Slice 48/155; Axial plane; Brain; Image size 240x240
FLAIR MR image.
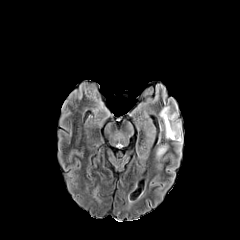
T1-weighted MR.
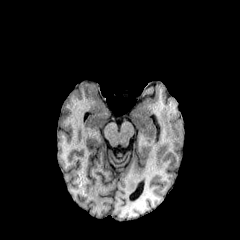
Post-contrast T1-weighted MRI.
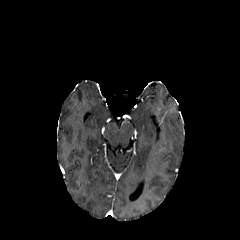
T2-weighted MR image.
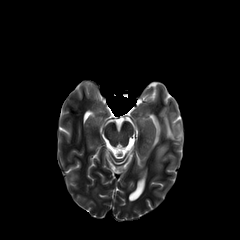
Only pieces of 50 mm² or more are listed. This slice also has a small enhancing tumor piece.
Findings:
- peritumoral edema: (x1=157, y1=146, x2=166, y2=157), (x1=163, y1=113, x2=180, y2=142)